Image covers 240 mm x 240 mm
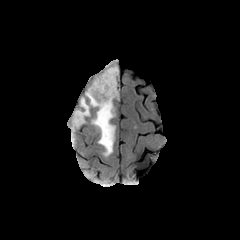
FLAIR MR.
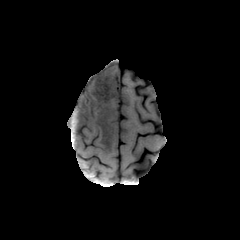
T1-weighted MR image of the same slice.
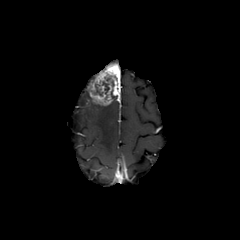
Same slice, post-contrast T1-weighted MR image.
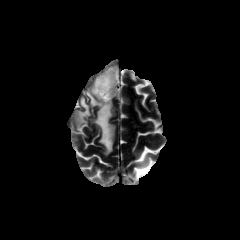
Same slice, T2-weighted MR.
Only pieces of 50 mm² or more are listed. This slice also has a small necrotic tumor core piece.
enhancing tumor: bounding box x1=87 y1=63 x2=120 y2=105
peritumoral edema: bounding box x1=72 y1=89 x2=115 y2=156